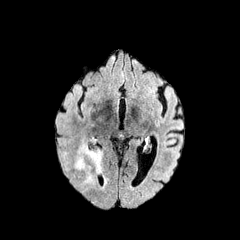
FLAIR MR image.
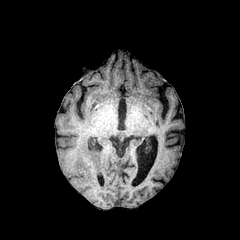
T1-weighted MR.
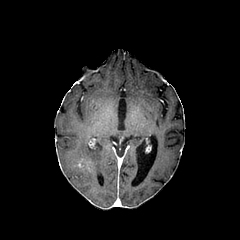
Post-contrast T1-weighted MR image.
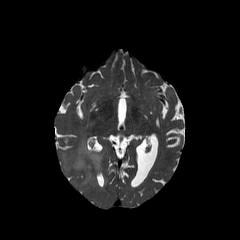
T2-weighted MRI of the same slice.
Brain
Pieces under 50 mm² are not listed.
enhancing tumor = {"x1": 76, "y1": 160, "x2": 84, "y2": 170}
peritumoral edema = {"x1": 73, "y1": 141, "x2": 102, "y2": 185}